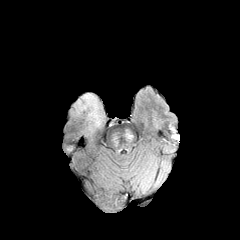
FLAIR MR image.
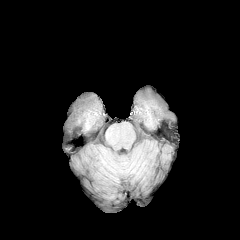
T1-weighted MR of the same slice.
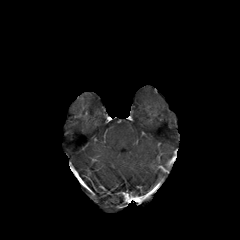
Post-contrast T1-weighted MRI of the same slice.
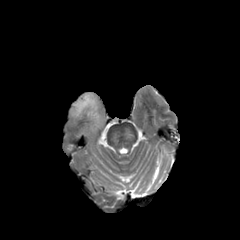
T2-weighted MR image.
Head
peritumoral edema: bounding box (x1=74, y1=94, x2=98, y2=120)